Head. 240x240. Axial slice. Slice 104 of 155.
FLAIR MR.
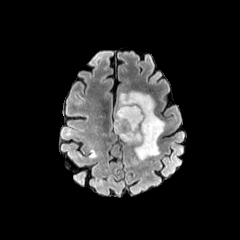
T1-weighted MRI.
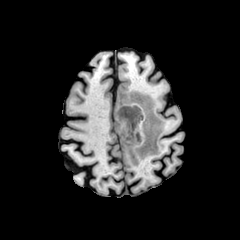
Post-contrast T1-weighted magnetic resonance.
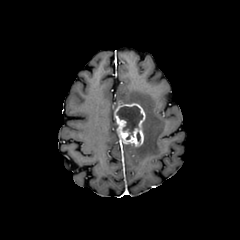
T2-weighted MR image.
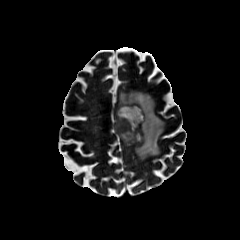
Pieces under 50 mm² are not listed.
necrotic tumor core: (117, 106, 142, 134) | enhancing tumor: (114, 100, 145, 146) | peritumoral edema: (119, 91, 165, 160)